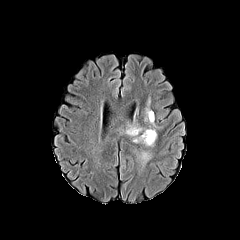
FLAIR MR image.
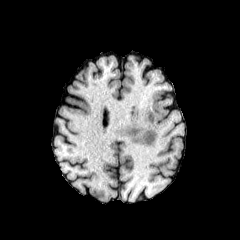
T1-weighted MRI.
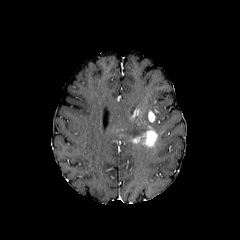
Post-contrast T1-weighted MRI of the same slice.
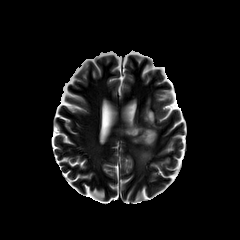
T2-weighted magnetic resonance of the same slice.
Brain; Axial slice; 240x240
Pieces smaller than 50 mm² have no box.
The 3 largest peritumoral edema regions appear at <box>116,120,148,137</box>, <box>134,149,151,168</box>, <box>144,96,163,130</box>. 2 enhancing tumor regions are located at <box>148,111,155,122</box>, <box>132,126,157,147</box>.